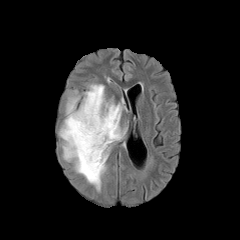
FLAIR MRI.
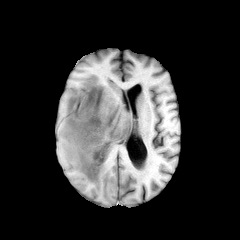
Same slice, T1-weighted MR.
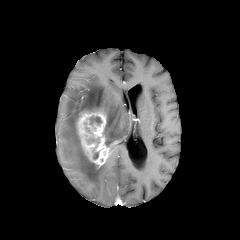
Post-contrast T1-weighted MR image.
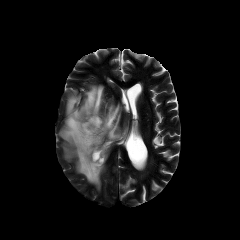
Same slice, T2-weighted MRI.
Head.
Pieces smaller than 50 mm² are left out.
<segmentation>
  <peritumoral_edema>[59, 84, 126, 190]</peritumoral_edema>
  <enhancing_tumor>[76, 110, 109, 167]</enhancing_tumor>
  <necrotic_tumor_core>[90, 117, 101, 124]</necrotic_tumor_core>
</segmentation>